FLAIR magnetic resonance.
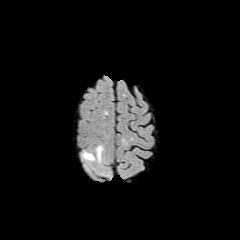
T1-weighted magnetic resonance.
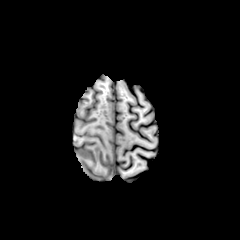
Post-contrast T1-weighted MR image.
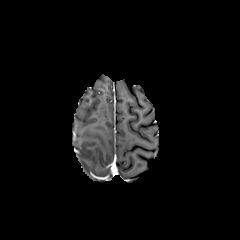
T2-weighted MR image.
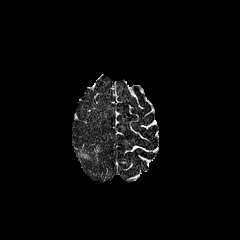
Brain, Axial slice
peritumoral edema: left=82, top=151, right=94, bottom=160; left=96, top=146, right=102, bottom=160